240x240. Slice index 90. Brain.
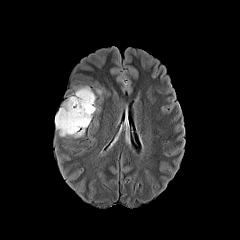
FLAIR MR image.
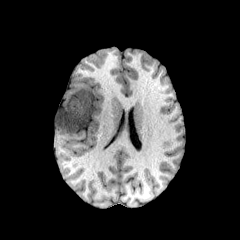
T1-weighted MR.
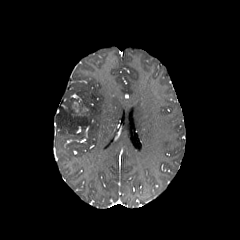
Post-contrast T1-weighted MRI.
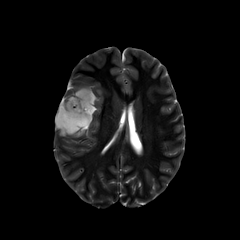
T2-weighted MR image.
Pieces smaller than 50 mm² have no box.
* peritumoral edema: <box>55,87,97,137</box>
* enhancing tumor: <box>72,97,88,115</box>
* necrotic tumor core: <box>70,118,86,131</box>